Slice 81 of 155; Head
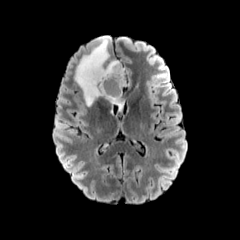
FLAIR magnetic resonance.
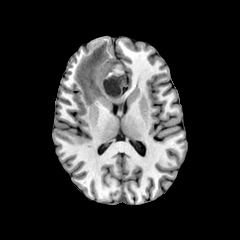
Same slice, T1-weighted MR image.
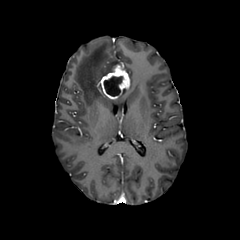
Post-contrast T1-weighted magnetic resonance.
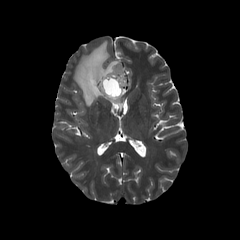
Same slice, T2-weighted MR image.
<segmentation>
  <enhancing_tumor>99,65,130,99</enhancing_tumor>
  <necrotic_tumor_core>104,76,122,96</necrotic_tumor_core>
  <peritumoral_edema>74,37,121,110</peritumoral_edema>
</segmentation>